Slice 85 of 155; Axial slice; Head
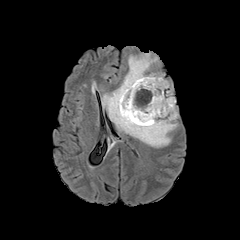
FLAIR magnetic resonance.
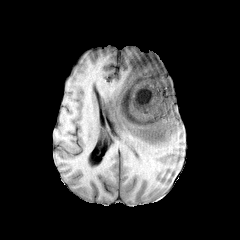
T1-weighted magnetic resonance.
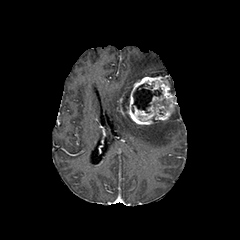
Post-contrast T1-weighted magnetic resonance.
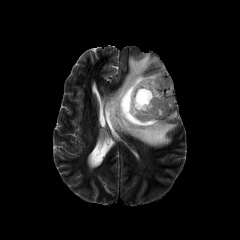
T2-weighted magnetic resonance.
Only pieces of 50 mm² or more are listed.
{"enhancing_tumor": ["119, 76, 176, 125"], "necrotic_tumor_core": ["132, 83, 162, 112"], "peritumoral_edema": ["102, 53, 178, 147", "122, 91, 129, 113"]}